Head
FLAIR magnetic resonance.
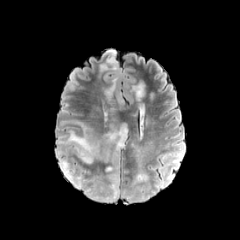
T1-weighted MR image.
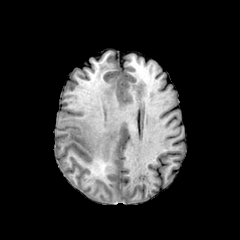
Post-contrast T1-weighted MRI.
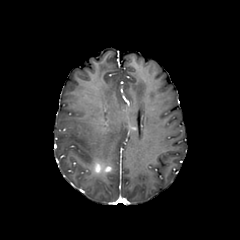
T2-weighted MR.
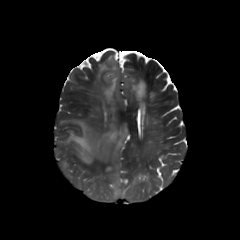
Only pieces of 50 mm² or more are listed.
<segmentation>
  <peritumoral_edema>rect(132, 82, 144, 100); rect(59, 120, 127, 164); rect(105, 78, 117, 99); rect(61, 160, 72, 179); rect(104, 164, 120, 200); rect(133, 173, 146, 184)</peritumoral_edema>
  <enhancing_tumor>rect(94, 162, 101, 172)</enhancing_tumor>
</segmentation>